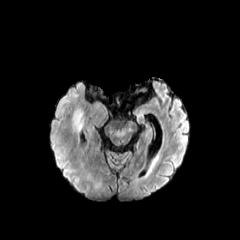
FLAIR MRI.
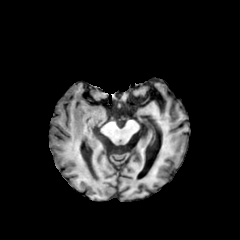
Same slice, T1-weighted MR image.
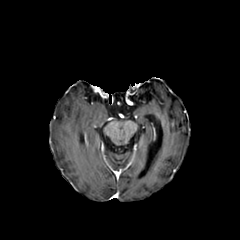
Same slice, post-contrast T1-weighted MRI.
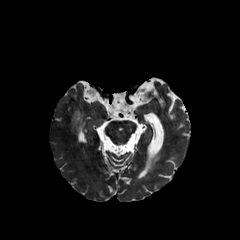
Same slice, T2-weighted magnetic resonance.
peritumoral edema — left=73, top=109, right=83, bottom=133